Axial view; Head; Slice 98/155
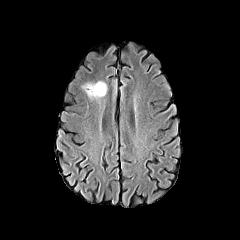
FLAIR magnetic resonance.
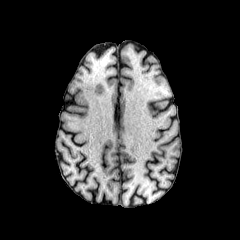
T1-weighted magnetic resonance.
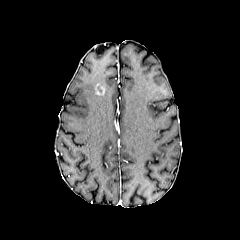
Post-contrast T1-weighted MR.
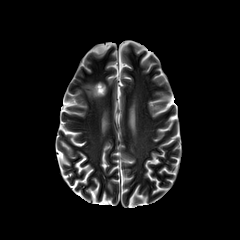
Same slice, T2-weighted MR.
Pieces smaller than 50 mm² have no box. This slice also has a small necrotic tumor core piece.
The peritumoral edema appears at x1=82, y1=81, x2=106, y2=98. The enhancing tumor is bounded by x1=94, y1=83, x2=105, y2=95.